Axial view; 240x240 px; Slice 76 of 155
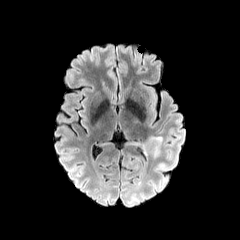
FLAIR MR.
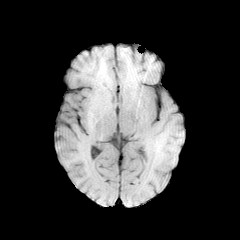
T1-weighted magnetic resonance.
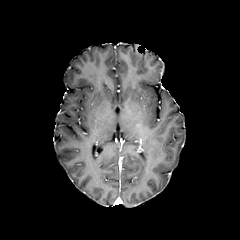
Post-contrast T1-weighted MR.
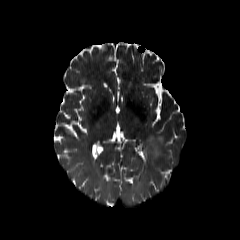
T2-weighted MR.
peritumoral edema: <bbox>145, 136, 162, 156</bbox>